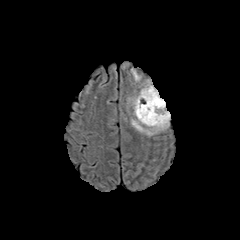
FLAIR MRI.
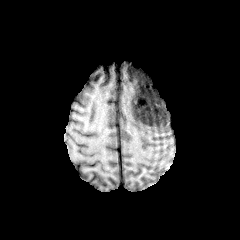
T1-weighted MRI.
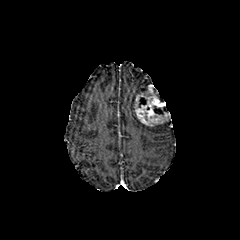
Post-contrast T1-weighted MR image.
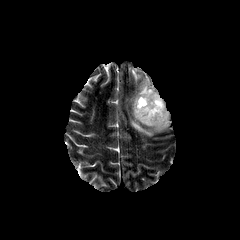
T2-weighted MR image of the same slice.
Brain. Axial slice.
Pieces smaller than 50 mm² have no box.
peritumoral_edema:
  - {"x1": 132, "y1": 69, "x2": 140, "y2": 80}
  - {"x1": 131, "y1": 119, "x2": 168, "y2": 135}
necrotic_tumor_core:
  - {"x1": 139, "y1": 98, "x2": 146, "y2": 107}
  - {"x1": 154, "y1": 106, "x2": 167, "y2": 114}
enhancing_tumor:
  - {"x1": 134, "y1": 84, "x2": 170, "y2": 126}